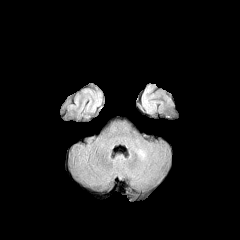
FLAIR MRI.
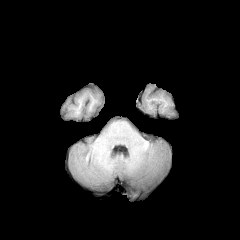
T1-weighted MRI.
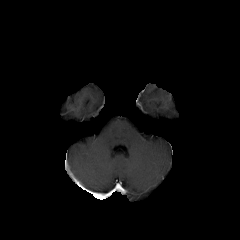
Post-contrast T1-weighted MR.
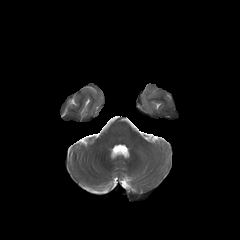
Same slice, T2-weighted MR.
peritumoral edema at box=[141, 87, 154, 113]